FLAIR MRI.
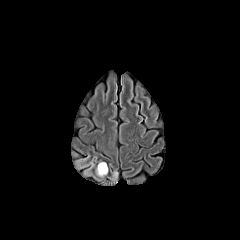
T1-weighted MRI.
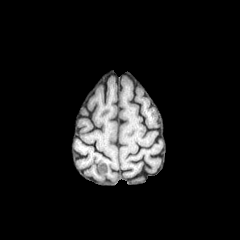
Post-contrast T1-weighted MRI.
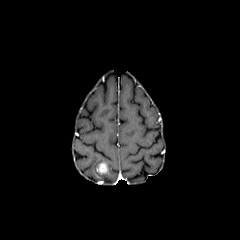
T2-weighted MR.
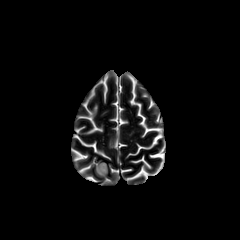
Brain. 240x240.
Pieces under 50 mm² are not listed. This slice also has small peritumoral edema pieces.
enhancing tumor at [97,163,107,173]